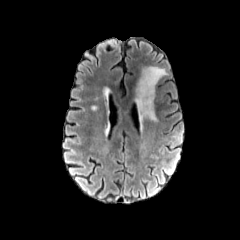
FLAIR MR image.
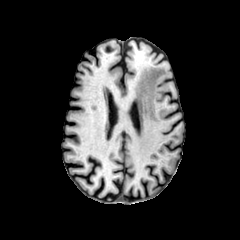
T1-weighted MRI of the same slice.
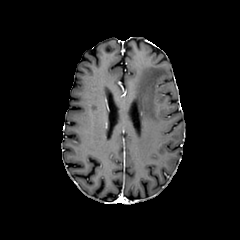
Post-contrast T1-weighted MR of the same slice.
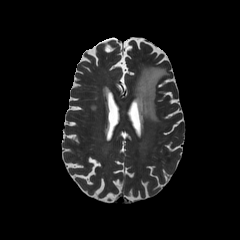
T2-weighted MR.
Axial plane. 240x240.
<segmentation>
  <peritumoral_edema>(136,66,168,122)</peritumoral_edema>
</segmentation>